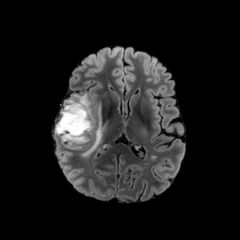
FLAIR MRI.
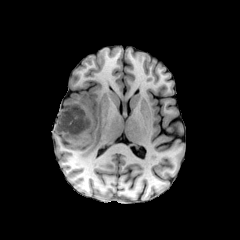
T1-weighted MRI.
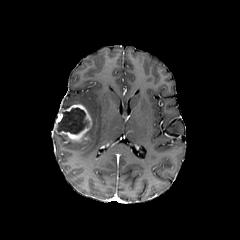
Same slice, post-contrast T1-weighted MR.
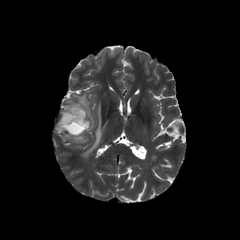
T2-weighted MRI.
Head | Image size 240x240 | Axial slice
enhancing tumor = (55, 104, 92, 142)
peritumoral edema = (61, 135, 88, 143), (82, 104, 102, 156), (62, 94, 93, 136)
necrotic tumor core = (57, 107, 88, 133)